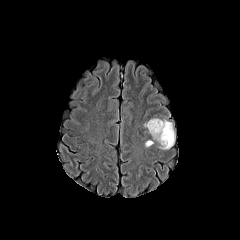
FLAIR MR image.
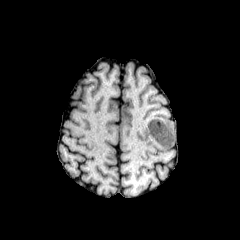
T1-weighted MR image.
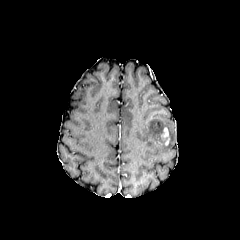
Post-contrast T1-weighted magnetic resonance.
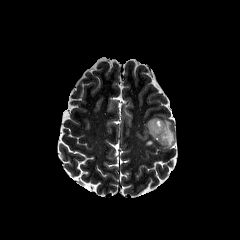
T2-weighted MR of the same slice.
Head
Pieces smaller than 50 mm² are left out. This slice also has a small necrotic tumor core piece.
enhancing_tumor:
  - region(161, 127, 170, 145)
peritumoral_edema:
  - region(144, 118, 174, 149)